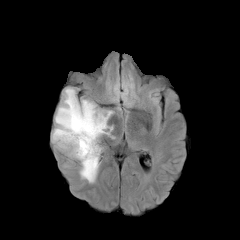
FLAIR MR.
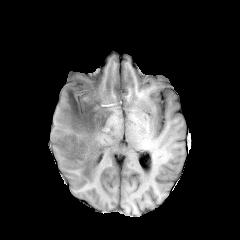
T1-weighted MRI.
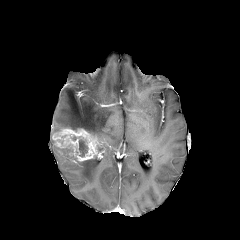
Post-contrast T1-weighted MR image.
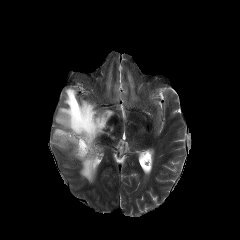
Same slice, T2-weighted MRI.
Axial view, 240x240 px
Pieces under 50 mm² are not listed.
Segmented structures:
• peritumoral edema: (x1=79, y1=157, x2=98, y2=182), (x1=52, y1=87, x2=114, y2=143)
• necrotic tumor core: (x1=79, y1=140, x2=86, y2=157)
• enhancing tumor: (x1=52, y1=128, x2=99, y2=162)